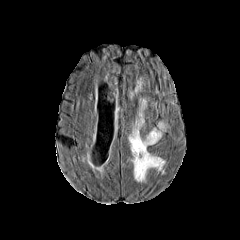
FLAIR magnetic resonance.
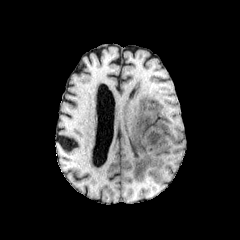
Same slice, T1-weighted MRI.
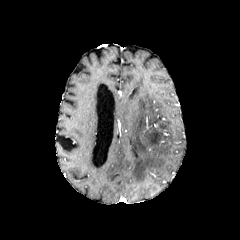
Post-contrast T1-weighted MR image.
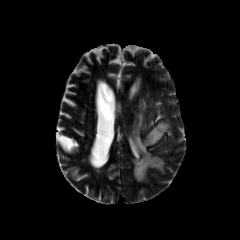
T2-weighted magnetic resonance.
Axial slice, Head, Image size 240x240
The peritumoral edema lies within {"x1": 128, "y1": 99, "x2": 166, "y2": 181}.